FLAIR magnetic resonance.
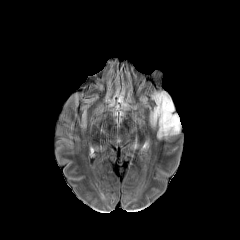
T1-weighted MR.
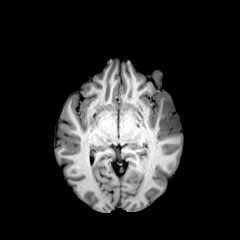
Post-contrast T1-weighted MRI.
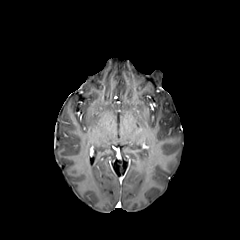
T2-weighted MR.
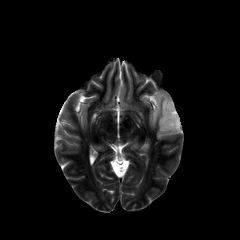
Brain
The peritumoral edema is located at (left=153, top=92, right=180, bottom=137).